FLAIR MRI.
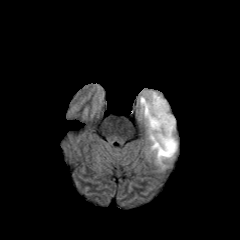
T1-weighted MR.
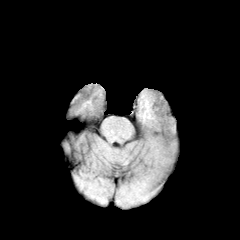
Post-contrast T1-weighted MR image.
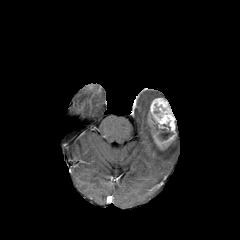
T2-weighted MR.
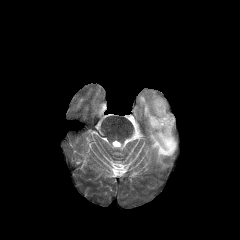
Head; Axial view
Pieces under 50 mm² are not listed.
Findings:
* necrotic tumor core: (159,129,173,139)
* peritumoral edema: (134,90,177,169)
* enhancing tumor: (147,98,176,153)